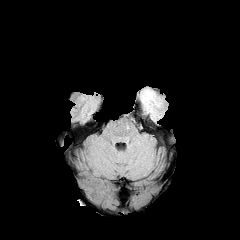
FLAIR magnetic resonance.
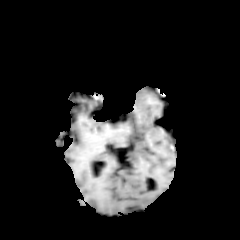
T1-weighted magnetic resonance.
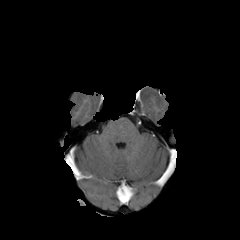
Post-contrast T1-weighted MRI of the same slice.
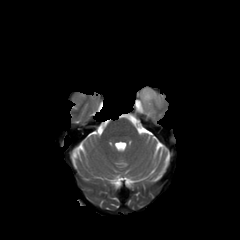
T2-weighted magnetic resonance.
Axial plane.
peritumoral_edema:
  - 140,88,162,115